FLAIR MR.
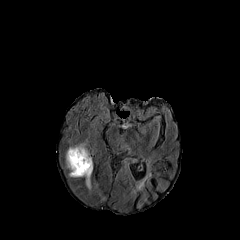
T1-weighted MRI.
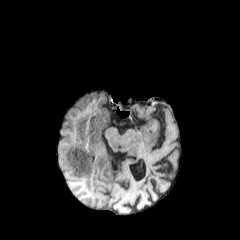
Post-contrast T1-weighted MR image.
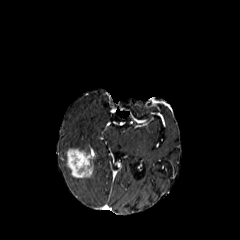
T2-weighted MRI.
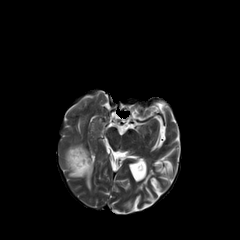
Axial plane
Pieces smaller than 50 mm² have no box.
peritumoral edema: rect(70, 143, 89, 152); rect(85, 177, 91, 189) | enhancing tumor: rect(66, 148, 93, 177)